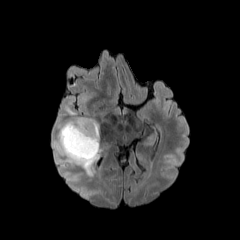
FLAIR MR.
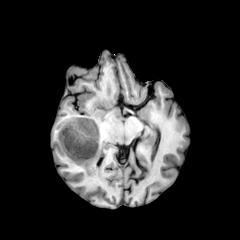
T1-weighted MR image of the same slice.
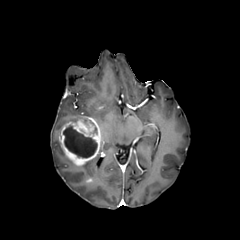
Post-contrast T1-weighted magnetic resonance of the same slice.
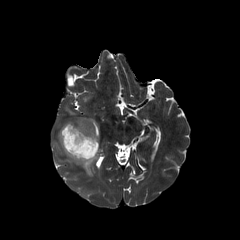
Same slice, T2-weighted MRI.
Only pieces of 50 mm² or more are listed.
The largest necrotic tumor core region is bounded by {"x1": 63, "y1": 125, "x2": 97, "y2": 157}. The 3 largest peritumoral edema regions appear at {"x1": 65, "y1": 106, "x2": 79, "y2": 118}, {"x1": 80, "y1": 155, "x2": 98, "y2": 175}, {"x1": 53, "y1": 134, "x2": 65, "y2": 161}. The enhancing tumor is located at {"x1": 57, "y1": 116, "x2": 101, "y2": 166}.